FLAIR MR image.
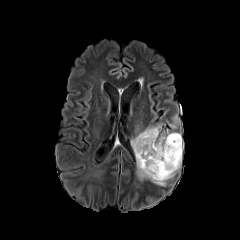
T1-weighted MR.
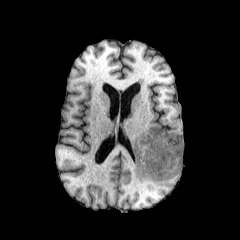
Post-contrast T1-weighted MR image.
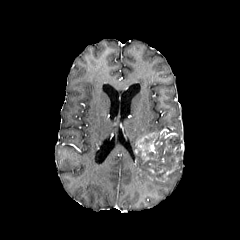
T2-weighted magnetic resonance.
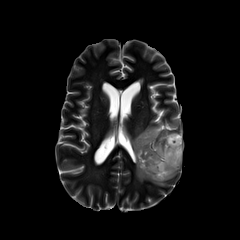
Head
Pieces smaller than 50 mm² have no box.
The 3 largest enhancing tumor regions appear at [134,132,162,161], [163,157,178,179], [160,131,177,138]. The 4 largest peritumoral edema regions are located at [167,159,180,179], [136,156,166,186], [169,115,179,127], [131,124,161,149]. The largest necrotic tumor core region lies within [142,131,180,179].